Slice index 132 | Brain | 240x240 px
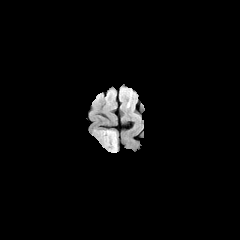
FLAIR MRI.
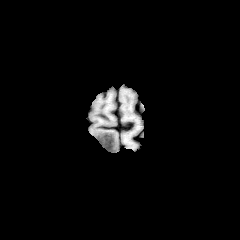
Same slice, T1-weighted MR.
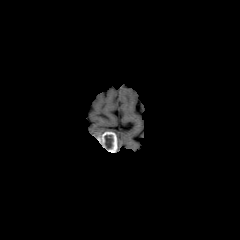
Post-contrast T1-weighted MR.
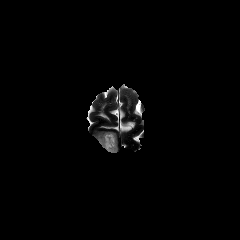
T2-weighted MRI.
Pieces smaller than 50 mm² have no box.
The enhancing tumor appears at 97, 132, 117, 152. The necrotic tumor core is located at 104, 135, 113, 148. The largest peritumoral edema region is bounded by 93, 131, 112, 138.